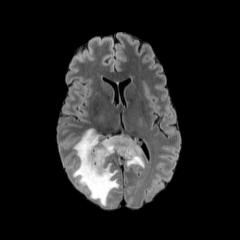
FLAIR MR.
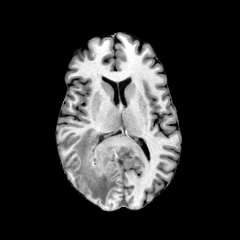
Same slice, T1-weighted MR image.
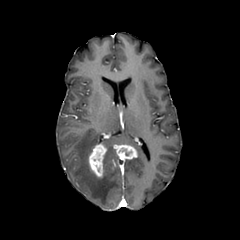
Same slice, post-contrast T1-weighted MR image.
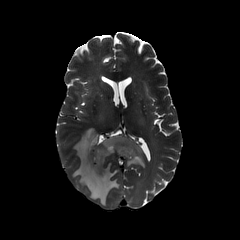
T2-weighted magnetic resonance.
Head; Axial plane
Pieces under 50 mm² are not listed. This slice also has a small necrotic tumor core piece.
peritumoral edema at bbox(72, 128, 144, 206)
enhancing tumor at bbox(88, 144, 106, 177); bbox(114, 145, 137, 159)